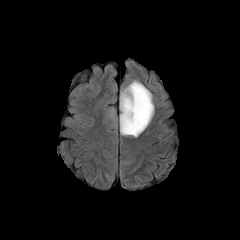
FLAIR magnetic resonance.
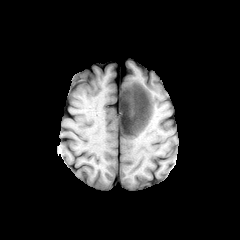
T1-weighted MR.
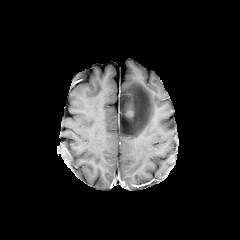
Same slice, post-contrast T1-weighted MR.
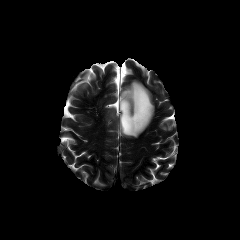
T2-weighted MRI.
240x240 px, Brain
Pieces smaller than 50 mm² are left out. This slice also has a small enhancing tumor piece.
<segmentation>
  <peritumoral_edema>120 80 154 137</peritumoral_edema>
</segmentation>